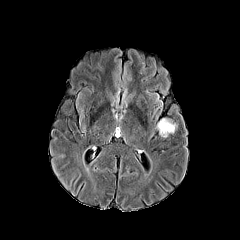
FLAIR MR.
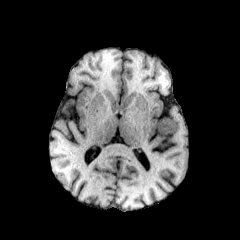
T1-weighted MRI of the same slice.
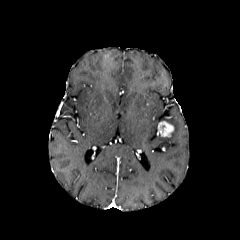
Post-contrast T1-weighted MRI.
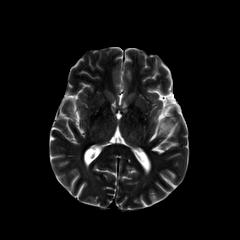
T2-weighted magnetic resonance.
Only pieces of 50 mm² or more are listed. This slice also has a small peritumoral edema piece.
Annotated regions:
* enhancing tumor: <box>157,121,174,136</box>